Axial plane. Slice 92 of 155. Image size 240x240. Image width 240 mm, 1.00 mm slice spacing. Head.
FLAIR MRI.
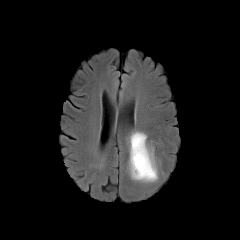
T1-weighted MR.
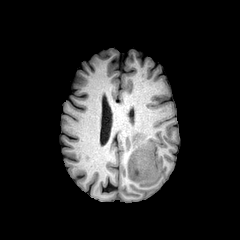
Post-contrast T1-weighted MR image.
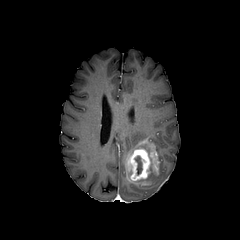
T2-weighted MR image.
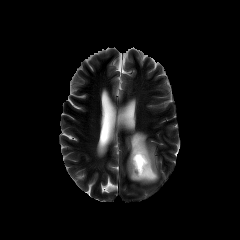
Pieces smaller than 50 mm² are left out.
The necrotic tumor core is located at rect(135, 156, 142, 174). The enhancing tumor is at rect(126, 139, 159, 181). The 2 largest peritumoral edema regions are located at rect(128, 131, 147, 156); rect(137, 170, 158, 183).